FLAIR magnetic resonance.
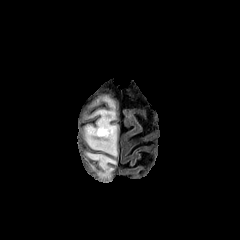
T1-weighted MRI.
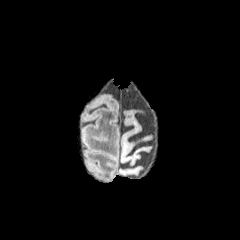
Post-contrast T1-weighted MR image.
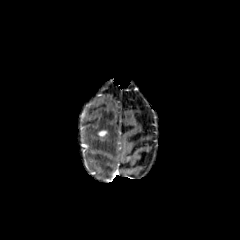
T2-weighted magnetic resonance.
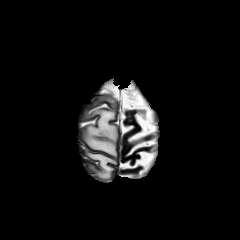
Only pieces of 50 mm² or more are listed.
{
  "enhancing_tumor": [
    "l=98, t=130, r=108, b=140"
  ],
  "peritumoral_edema": [
    "l=86, t=153, r=116, b=179",
    "l=85, t=97, r=117, b=157"
  ]
}